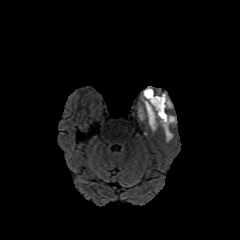
FLAIR MR image.
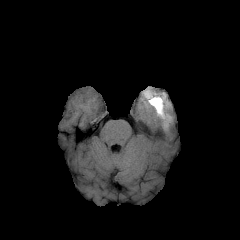
T1-weighted MR image.
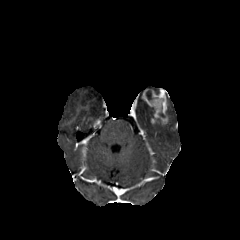
Post-contrast T1-weighted MRI of the same slice.
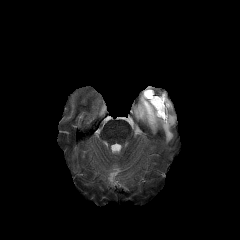
Same slice, T2-weighted MR.
Brain.
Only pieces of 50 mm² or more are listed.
The largest necrotic tumor core region is located at box(145, 90, 154, 100). The enhancing tumor appears at box(142, 89, 167, 124). The peritumoral edema appears at box(138, 96, 176, 141).